Brain. Slice 91 of 155. Axial slice.
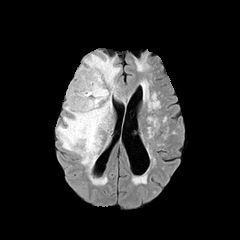
FLAIR magnetic resonance.
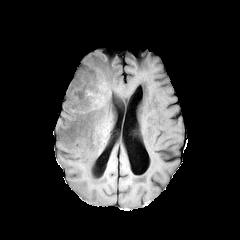
T1-weighted MRI.
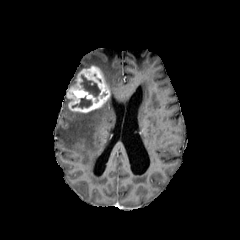
Post-contrast T1-weighted MR image.
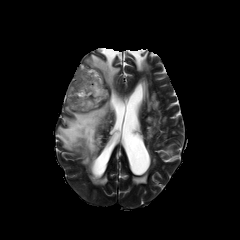
T2-weighted MR.
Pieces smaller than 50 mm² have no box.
necrotic tumor core: (72, 97, 91, 108), (81, 75, 100, 97) | peritumoral edema: (57, 54, 120, 171) | enhancing tumor: (66, 66, 110, 112)